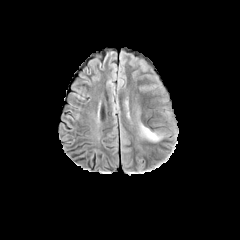
FLAIR magnetic resonance.
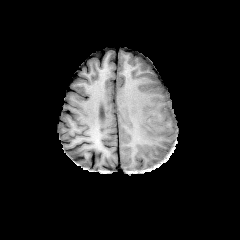
T1-weighted magnetic resonance.
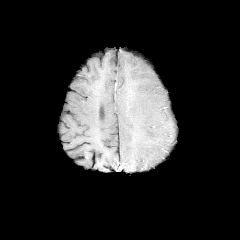
Post-contrast T1-weighted MR image.
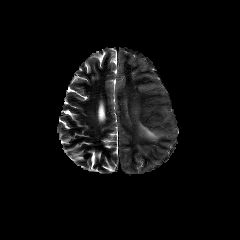
T2-weighted MRI.
Head | Axial slice
peritumoral edema — (140,124,160,140)